Brain; Slice 103/155
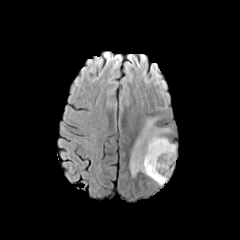
FLAIR magnetic resonance.
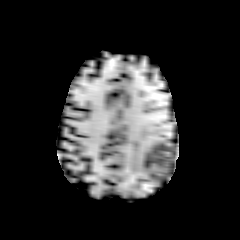
T1-weighted magnetic resonance.
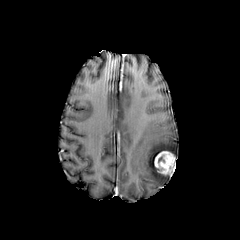
Post-contrast T1-weighted magnetic resonance.
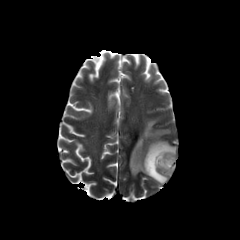
T2-weighted MRI.
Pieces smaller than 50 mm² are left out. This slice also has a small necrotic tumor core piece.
{"peritumoral_edema": ["130:119:176:185"], "enhancing_tumor": ["154:151:175:174"]}